FLAIR MR image.
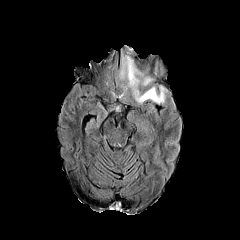
T1-weighted MR.
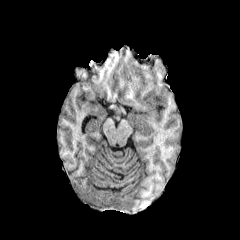
Post-contrast T1-weighted MR image.
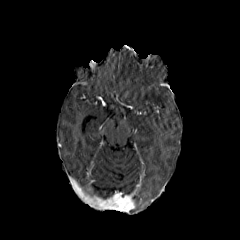
T2-weighted MR image.
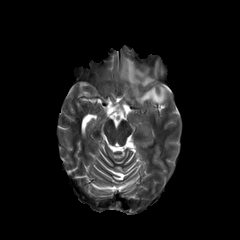
Head
peritumoral edema at <bbox>154, 58, 165, 76</bbox>, <bbox>119, 48, 168, 105</bbox>